Slice 68 of 155. Axial view.
FLAIR magnetic resonance.
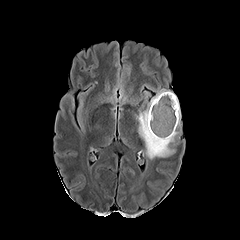
T1-weighted MRI.
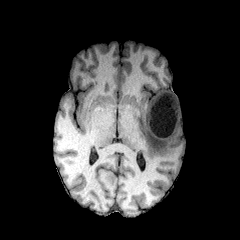
Post-contrast T1-weighted MR image.
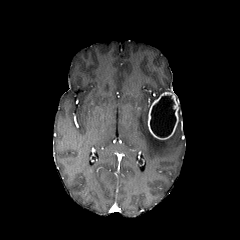
T2-weighted magnetic resonance.
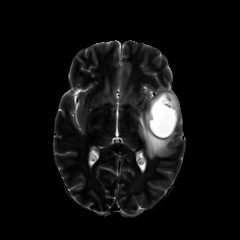
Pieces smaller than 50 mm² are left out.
necrotic tumor core = 150 95 176 137
peritumoral edema = 137 89 178 158
enhancing tumor = 148 92 178 139